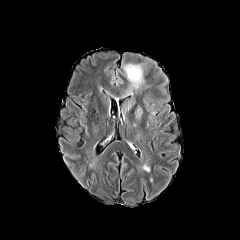
FLAIR magnetic resonance.
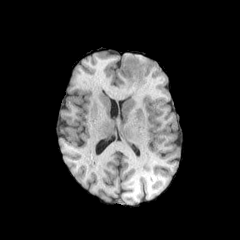
T1-weighted magnetic resonance.
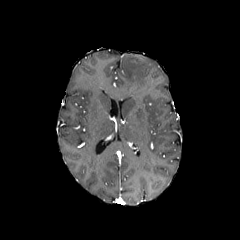
Same slice, post-contrast T1-weighted magnetic resonance.
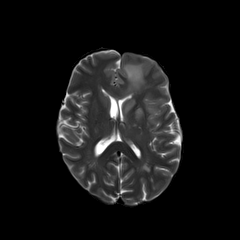
T2-weighted MR image of the same slice.
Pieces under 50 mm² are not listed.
Segmented structures:
* peritumoral edema: x1=134 y1=105 x2=143 y2=120, x1=121 y1=97 x2=135 y2=114, x1=122 y1=63 x2=144 y2=88